Slice 43 of 155, Axial view
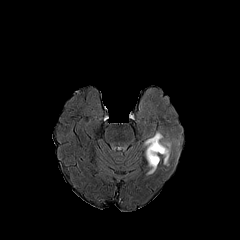
FLAIR MR image.
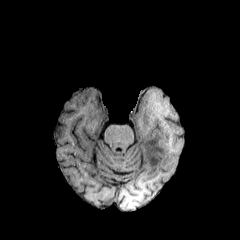
T1-weighted MR image of the same slice.
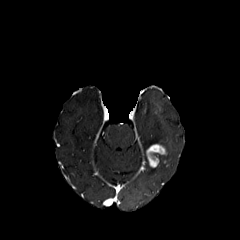
Same slice, post-contrast T1-weighted MRI.
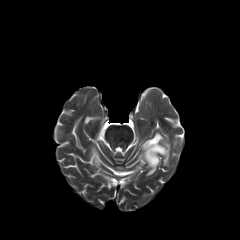
T2-weighted MRI.
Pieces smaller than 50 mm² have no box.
enhancing_tumor:
  - [x1=146, y1=144, x2=166, y2=167]
peritumoral_edema:
  - [x1=144, y1=131, x2=171, y2=164]